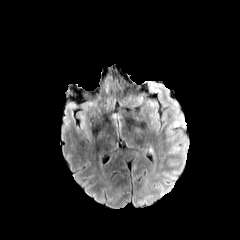
FLAIR MRI.
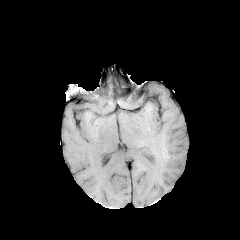
T1-weighted MR image.
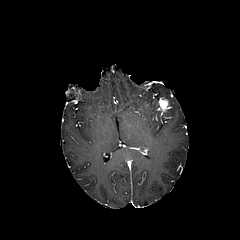
Post-contrast T1-weighted MR.
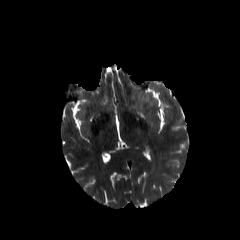
T2-weighted MR.
Axial slice
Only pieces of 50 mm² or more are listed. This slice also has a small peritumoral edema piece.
Segmented structures:
- enhancing tumor: 160:98:170:111